Axial slice | Brain
FLAIR MR image.
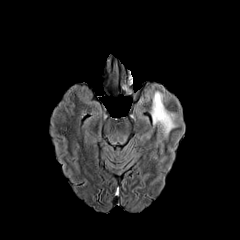
T1-weighted MR image.
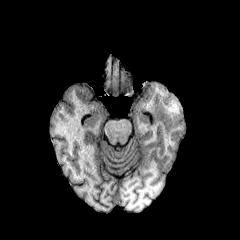
Post-contrast T1-weighted MRI.
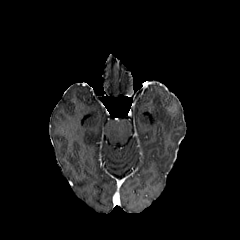
T2-weighted MRI.
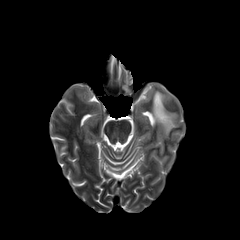
The peritumoral edema lies within box(151, 91, 175, 136).